Brain. Axial plane. Slice 97/155.
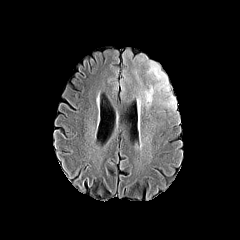
FLAIR MR image.
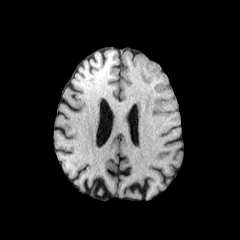
T1-weighted magnetic resonance.
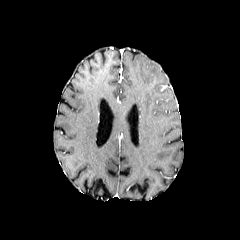
Post-contrast T1-weighted MRI.
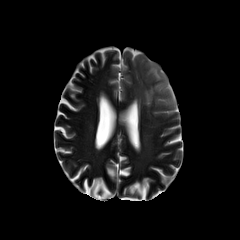
T2-weighted magnetic resonance.
- peritumoral edema: (left=143, top=60, right=176, bottom=109)